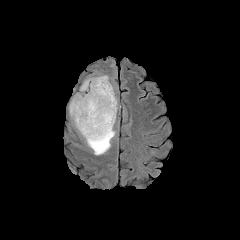
FLAIR magnetic resonance.
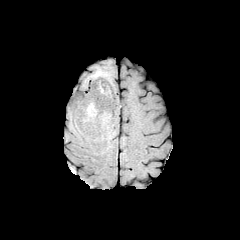
Same slice, T1-weighted MR.
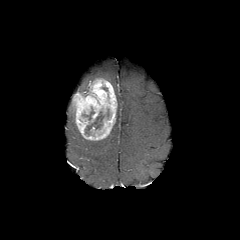
Post-contrast T1-weighted MRI.
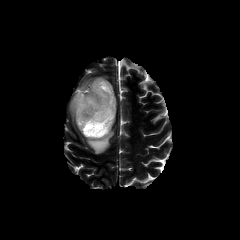
T2-weighted MR.
Brain
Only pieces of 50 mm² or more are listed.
enhancing tumor: x1=71, y1=78, x2=117, y2=140 | peritumoral edema: x1=69, y1=101, x2=77, y2=129; x1=85, y1=107, x2=117, y2=154; x1=78, y1=75, x2=108, y2=91 | necrotic tumor core: x1=85, y1=112, x2=104, y2=134